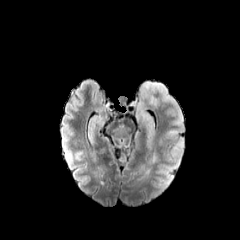
FLAIR MR.
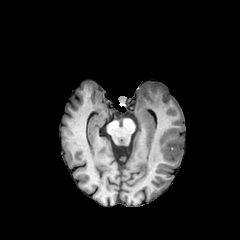
Same slice, T1-weighted MR image.
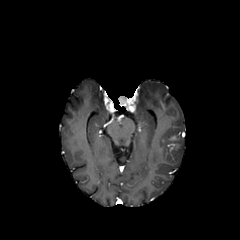
Post-contrast T1-weighted MR image.
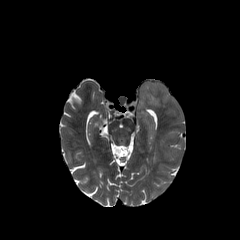
Same slice, T2-weighted MRI.
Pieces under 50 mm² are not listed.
enhancing tumor: {"x1": 168, "y1": 143, "x2": 178, "y2": 149} | peritumoral edema: {"x1": 137, "y1": 80, "x2": 184, "y2": 148}